FLAIR MR.
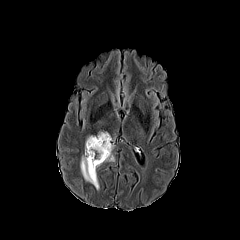
T1-weighted MR image.
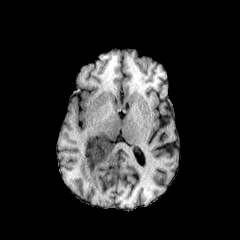
Post-contrast T1-weighted magnetic resonance.
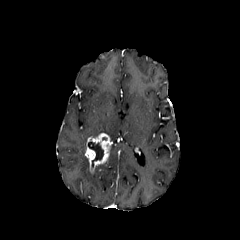
T2-weighted MRI.
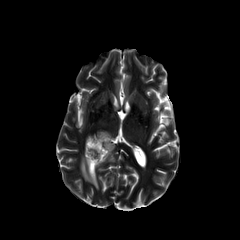
Axial view
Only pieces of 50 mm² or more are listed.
necrotic tumor core: 88, 141, 103, 166 | peritumoral edema: 108, 145, 114, 161; 80, 155, 99, 189 | enhancing tumor: 85, 132, 111, 174